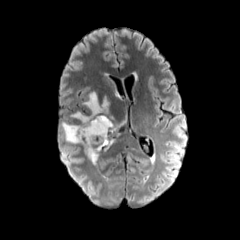
FLAIR magnetic resonance.
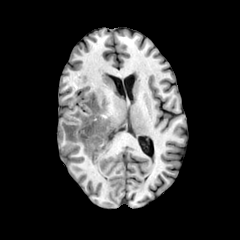
T1-weighted MRI of the same slice.
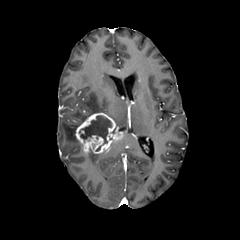
Post-contrast T1-weighted MR image of the same slice.
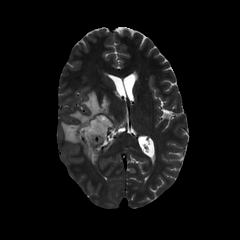
T2-weighted MR of the same slice.
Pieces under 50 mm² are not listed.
The largest necrotic tumor core region appears at 79:115:111:144. The largest enhancing tumor region is located at 75:112:123:155. 2 peritumoral edema regions are bounded by 61:92:109:143, 87:154:98:164.